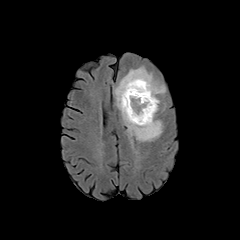
FLAIR MRI.
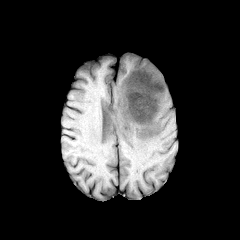
T1-weighted magnetic resonance.
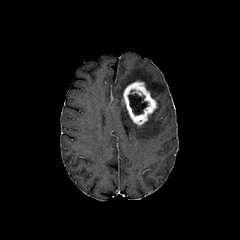
Post-contrast T1-weighted magnetic resonance.
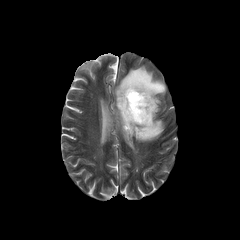
Same slice, T2-weighted MR.
Head
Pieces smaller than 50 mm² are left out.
peritumoral edema = region(115, 66, 165, 141)
necrotic tumor core = region(128, 93, 147, 114)
enhancing tumor = region(122, 80, 157, 125)